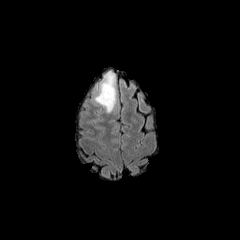
FLAIR MR.
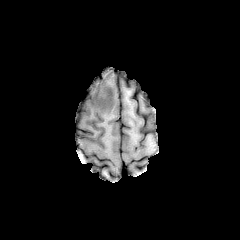
T1-weighted MR.
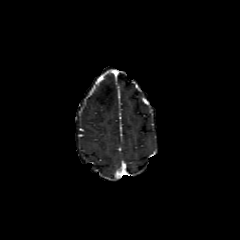
Post-contrast T1-weighted magnetic resonance.
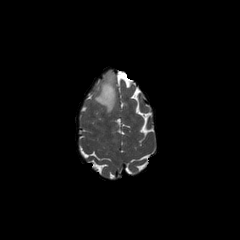
T2-weighted MR image of the same slice.
Brain
Segmented structures:
* peritumoral edema: left=94, top=72, right=116, bottom=112